Axial plane; Image size 240x240; Brain
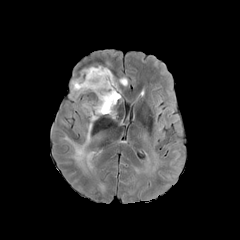
FLAIR MR image.
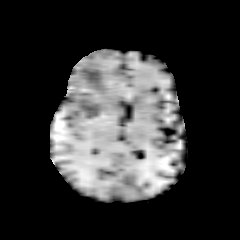
T1-weighted MRI of the same slice.
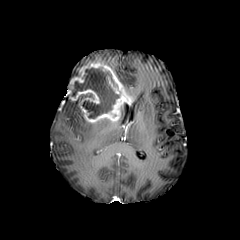
Post-contrast T1-weighted magnetic resonance.
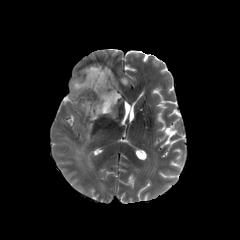
Same slice, T2-weighted MRI.
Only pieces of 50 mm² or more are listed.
* necrotic tumor core: (left=72, top=68, right=119, bottom=118)
* peritumoral edema: (left=120, top=77, right=128, bottom=86), (left=64, top=123, right=93, bottom=168)
* enhancing tumor: (left=67, top=62, right=132, bottom=123)